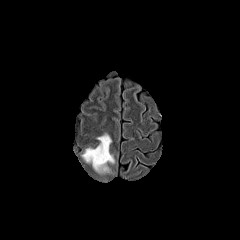
FLAIR MR.
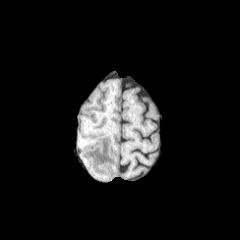
T1-weighted MRI of the same slice.
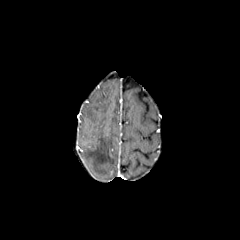
Same slice, post-contrast T1-weighted MR image.
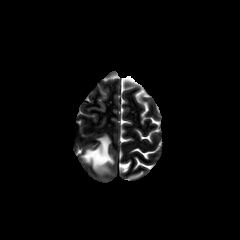
T2-weighted MR.
240x240.
The peritumoral edema is at box(82, 134, 114, 173).